FLAIR MR image.
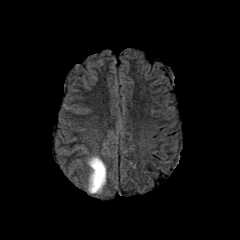
T1-weighted MR.
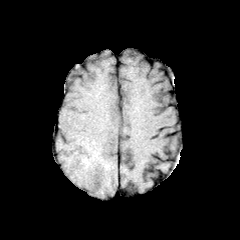
Post-contrast T1-weighted MRI.
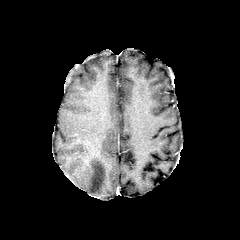
T2-weighted magnetic resonance.
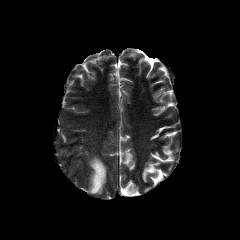
<segmentation>
  <peritumoral_edema>box=[88, 156, 106, 193]</peritumoral_edema>
</segmentation>